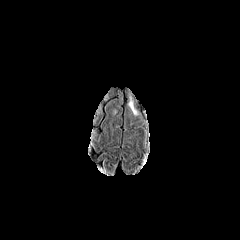
FLAIR magnetic resonance.
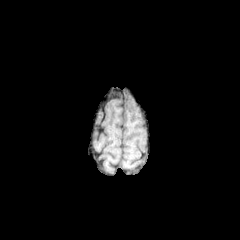
T1-weighted MR image of the same slice.
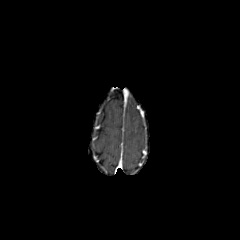
Post-contrast T1-weighted MRI.
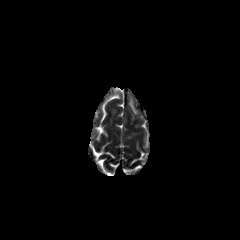
T2-weighted MRI of the same slice.
Head.
peritumoral edema: 128,98,140,118